Brain. Slice 72 of 155.
FLAIR MRI.
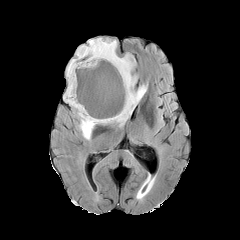
T1-weighted MR.
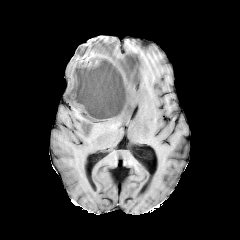
Post-contrast T1-weighted MRI.
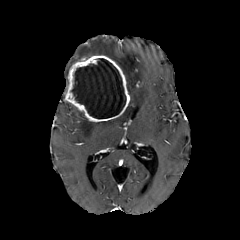
T2-weighted magnetic resonance.
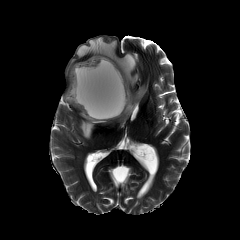
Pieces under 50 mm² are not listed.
The largest peritumoral edema region appears at [x1=66, y1=37, x2=147, y2=139]. The necrotic tumor core lies within [x1=71, y1=58, x2=125, y2=118]. The enhancing tumor is located at [x1=64, y1=55, x2=130, y2=122].